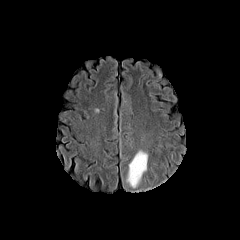
FLAIR MR image.
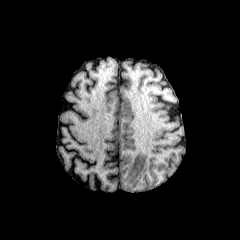
T1-weighted MRI.
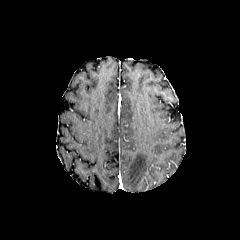
Same slice, post-contrast T1-weighted MR.
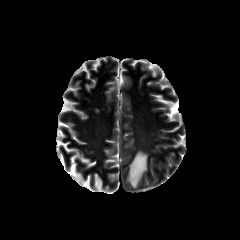
T2-weighted magnetic resonance.
Brain
The peritumoral edema appears at <box>126,150,148,188</box>.